FLAIR magnetic resonance.
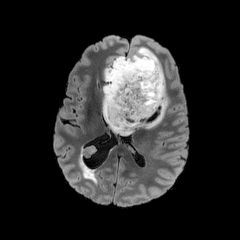
T1-weighted magnetic resonance.
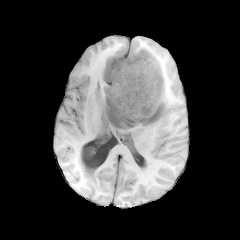
Post-contrast T1-weighted MR.
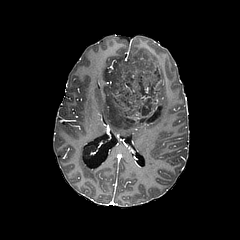
T2-weighted MR.
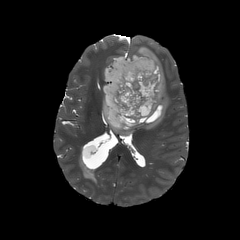
Head, Axial slice
necrotic tumor core = x1=106 y1=52 x2=163 y2=128
peritumoral edema = x1=102 y1=47 x2=168 y2=136